Head; Image size 240x240
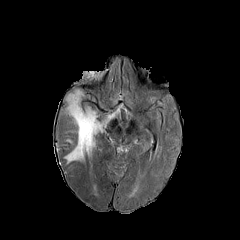
FLAIR MR.
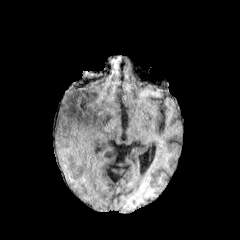
Same slice, T1-weighted MRI.
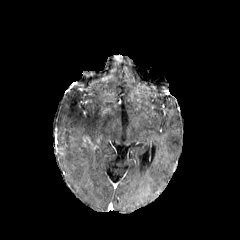
Same slice, post-contrast T1-weighted magnetic resonance.
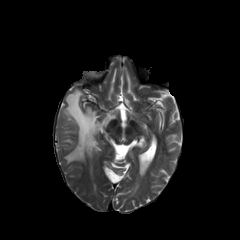
Same slice, T2-weighted magnetic resonance.
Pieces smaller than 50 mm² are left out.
enhancing tumor at bbox(83, 137, 96, 148)
peritumoral edema at bbox(65, 89, 114, 162)